Slice index 105; Brain; Image width 240 mm
FLAIR MR.
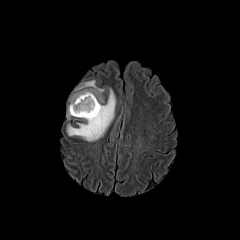
T1-weighted MR image.
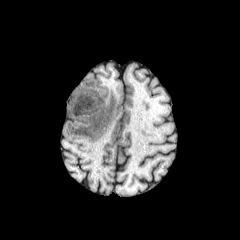
Post-contrast T1-weighted MR.
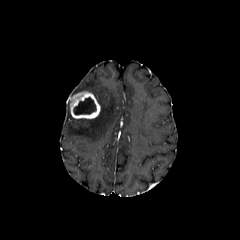
T2-weighted magnetic resonance.
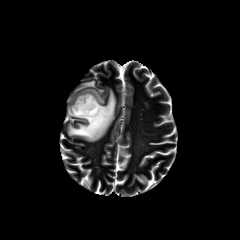
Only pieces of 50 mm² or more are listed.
Segmented structures:
- peritumoral edema: <box>67,80,116,141</box>
- necrotic tumor core: <box>73,97,96,114</box>
- enhancing tumor: <box>69,91,100,119</box>